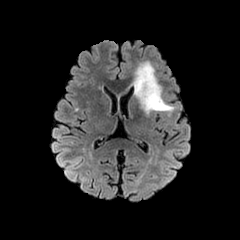
FLAIR MRI.
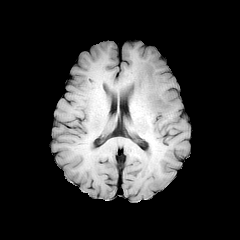
T1-weighted MR of the same slice.
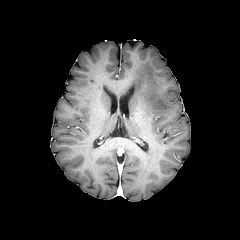
Post-contrast T1-weighted MR of the same slice.
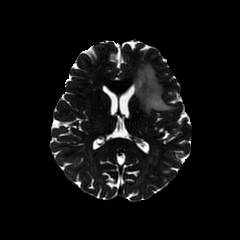
T2-weighted MR of the same slice.
240x240 px; Brain
peritumoral edema: {"x1": 134, "y1": 61, "x2": 174, "y2": 114}